FLAIR MR.
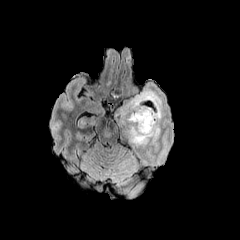
T1-weighted MR.
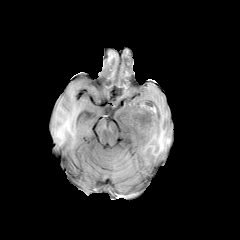
Post-contrast T1-weighted MR.
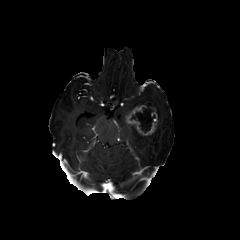
T2-weighted MR.
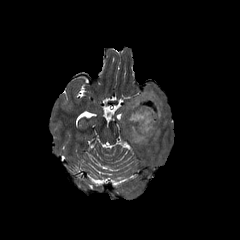
Image size 240x240 | Brain
enhancing tumor = <bbox>123, 105, 158, 136</bbox>
peritumoral edema = <bbox>121, 90, 161, 145</bbox>
necrotic tumor core = <bbox>131, 106, 155, 132</bbox>